Axial plane | Slice index 81
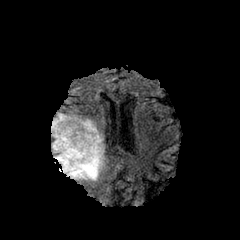
FLAIR MR image.
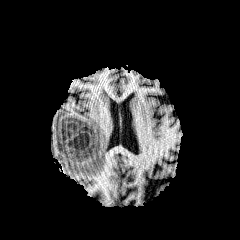
T1-weighted magnetic resonance of the same slice.
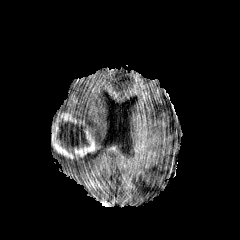
Post-contrast T1-weighted MRI.
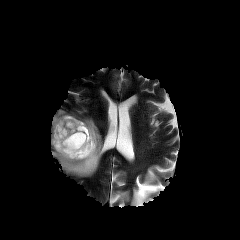
T2-weighted MR of the same slice.
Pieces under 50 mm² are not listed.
peritumoral edema — (51, 142, 97, 177), (69, 112, 101, 145)
necrotic tumor core — (56, 121, 89, 155)
enhancing tumor — (52, 113, 98, 160)